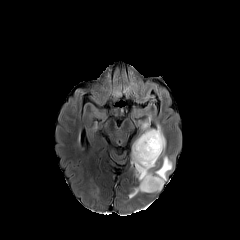
FLAIR MR image.
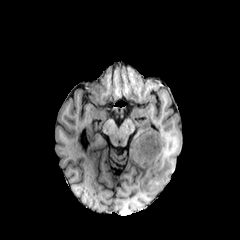
Same slice, T1-weighted MR image.
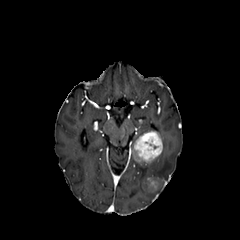
Same slice, post-contrast T1-weighted magnetic resonance.
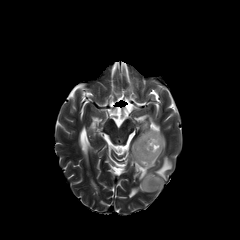
T2-weighted MRI.
Head | Axial slice
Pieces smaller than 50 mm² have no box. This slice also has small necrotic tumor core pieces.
The 2 largest peritumoral edema regions are located at left=142, top=120, right=165, bottom=153; left=132, top=155, right=172, bottom=192. 2 enhancing tumor regions are located at left=144, top=176, right=162, bottom=191; left=133, top=130, right=162, bottom=165.